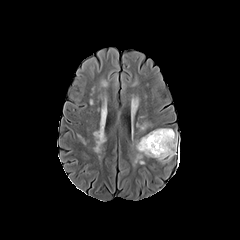
FLAIR MR.
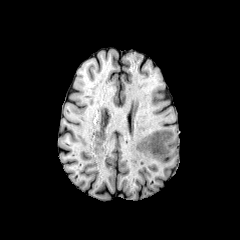
T1-weighted MR image.
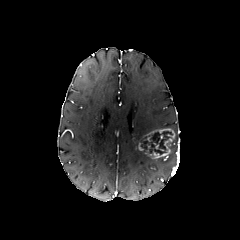
Post-contrast T1-weighted magnetic resonance of the same slice.
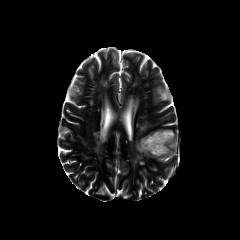
Same slice, T2-weighted MR.
Brain
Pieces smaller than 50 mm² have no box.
Segmented structures:
* necrotic tumor core: (left=141, top=131, right=172, bottom=154)
* enhancing tumor: (left=145, top=128, right=175, bottom=158)
* peritumoral edema: (left=135, top=142, right=146, bottom=164), (left=166, top=132, right=178, bottom=160)